FLAIR magnetic resonance.
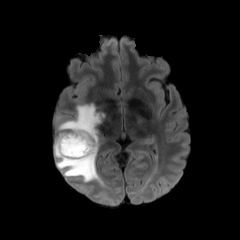
T1-weighted MR.
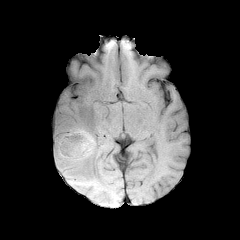
Post-contrast T1-weighted MR.
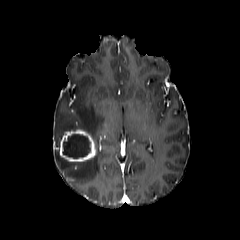
T2-weighted MRI.
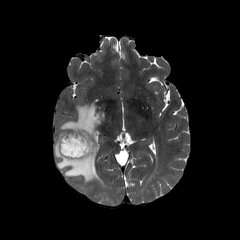
Head.
Segmented structures:
• peritumoral edema: box(54, 103, 105, 182)
• enhancing tumor: box(58, 129, 97, 162)
• necrotic tumor core: box(63, 134, 90, 158)